FLAIR magnetic resonance.
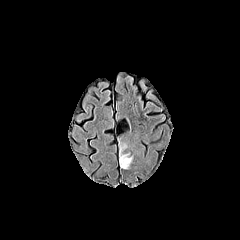
T1-weighted MR image.
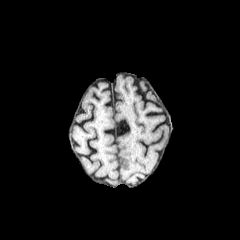
Post-contrast T1-weighted magnetic resonance.
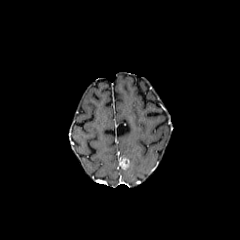
T2-weighted MRI.
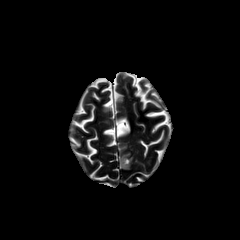
240x240 px. Axial plane. Head.
Findings:
• enhancing tumor: <bbox>119, 157, 129, 169</bbox>
• peritumoral edema: <bbox>119, 142, 132, 163</bbox>